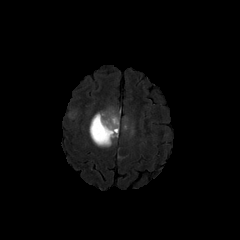
FLAIR MR.
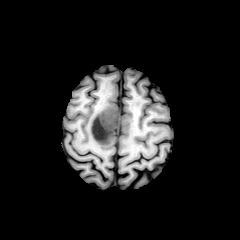
Same slice, T1-weighted MRI.
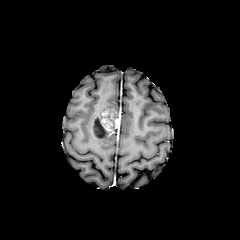
Same slice, post-contrast T1-weighted magnetic resonance.
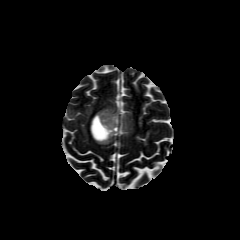
Same slice, T2-weighted magnetic resonance.
240x240, Axial view
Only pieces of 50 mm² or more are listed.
enhancing tumor = box(91, 112, 120, 140)
necrotic tumor core = box(93, 116, 108, 138)
peritumoral edema = box(122, 118, 134, 135); box(89, 107, 119, 147)